Axial view.
FLAIR MR.
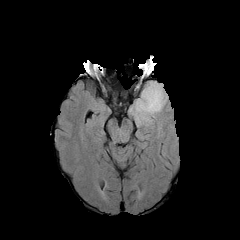
T1-weighted MRI.
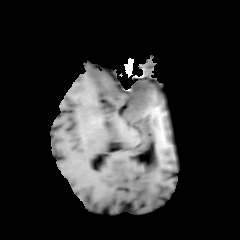
Post-contrast T1-weighted magnetic resonance.
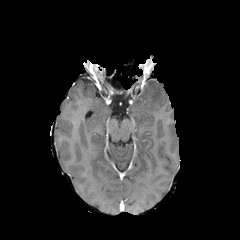
T2-weighted magnetic resonance.
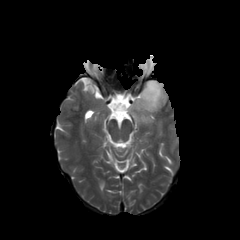
peritumoral edema: bbox=[129, 81, 167, 126]